FLAIR magnetic resonance.
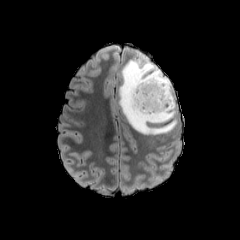
T1-weighted MR.
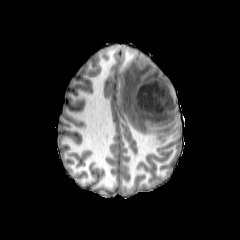
Post-contrast T1-weighted magnetic resonance.
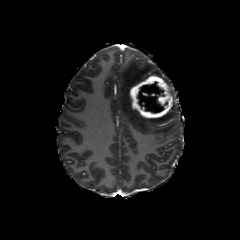
T2-weighted magnetic resonance.
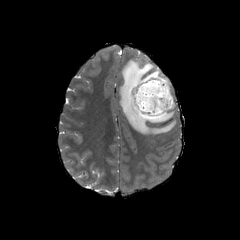
Axial view
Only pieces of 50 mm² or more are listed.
enhancing tumor at 129, 75, 173, 119
necrotic tumor core at 137, 81, 164, 113
peritumoral edema at 118, 54, 177, 135